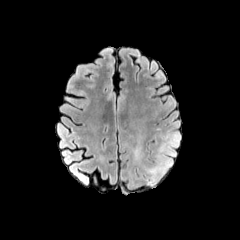
FLAIR MR.
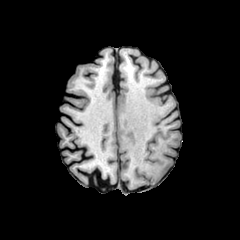
T1-weighted MR of the same slice.
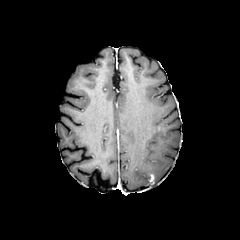
Same slice, post-contrast T1-weighted magnetic resonance.
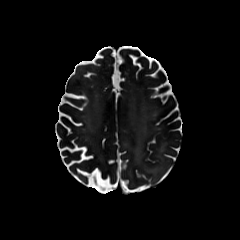
Same slice, T2-weighted MR.
Image size 240x240. Axial plane.
peritumoral edema: bbox(133, 144, 141, 159); bbox(146, 167, 161, 182)